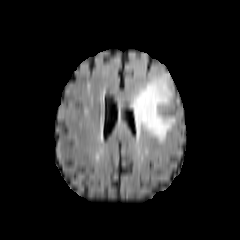
FLAIR MR image.
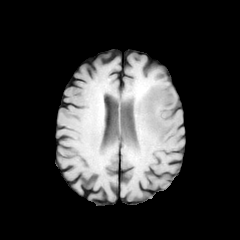
T1-weighted MR of the same slice.
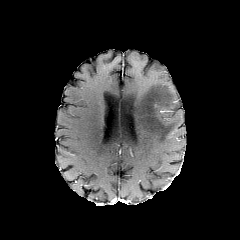
Post-contrast T1-weighted MRI.
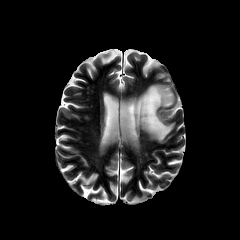
T2-weighted magnetic resonance.
Axial plane.
peritumoral edema: left=131, top=79, right=174, bottom=142